FLAIR magnetic resonance.
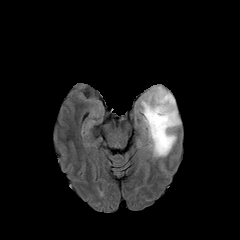
T1-weighted MR.
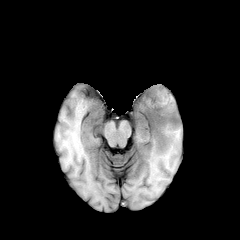
Post-contrast T1-weighted MRI.
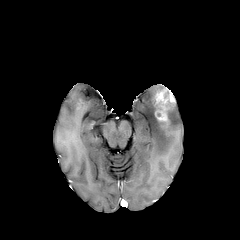
T2-weighted magnetic resonance.
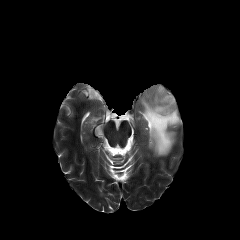
Brain
peritumoral edema: box(140, 85, 180, 156) | enhancing tumor: box(153, 88, 175, 126)